Brain
FLAIR magnetic resonance.
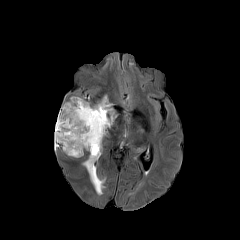
T1-weighted MR image.
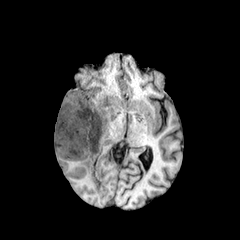
Post-contrast T1-weighted MRI.
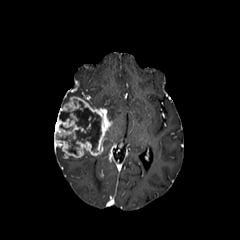
T2-weighted MR.
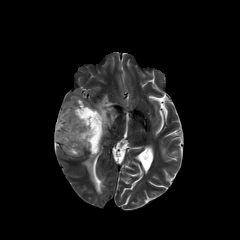
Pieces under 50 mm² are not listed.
necrotic tumor core: (59, 111, 70, 121), (59, 101, 101, 154) | enhancing tumor: (54, 96, 112, 157) | peritumoral edema: (66, 89, 81, 101), (93, 95, 116, 122), (82, 155, 105, 195)